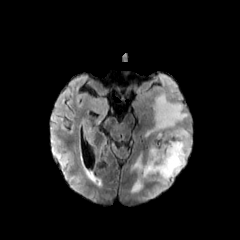
FLAIR magnetic resonance.
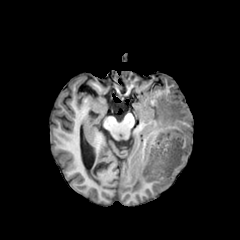
T1-weighted magnetic resonance.
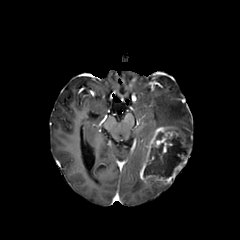
Post-contrast T1-weighted MRI.
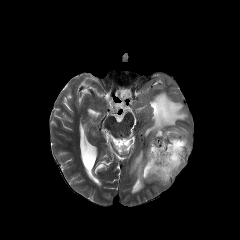
Same slice, T2-weighted MR.
Axial slice; Brain
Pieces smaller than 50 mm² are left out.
necrotic tumor core at 143:132:186:178
peritumoral edema at 157:184:170:192, 130:151:145:193, 145:93:191:149
enhancing tumor at 139:126:190:185